Image size 240x240
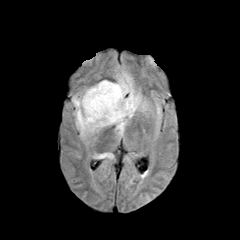
FLAIR MR.
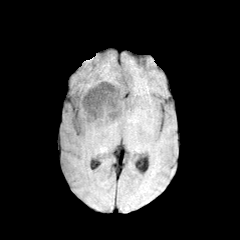
T1-weighted MR image.
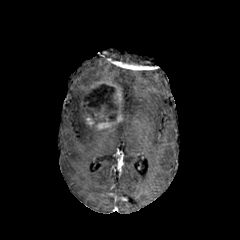
Post-contrast T1-weighted MRI.
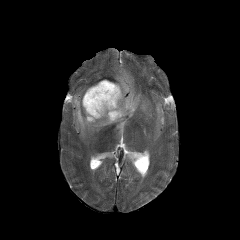
T2-weighted MR.
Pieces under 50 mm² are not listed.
<segmentation>
  <necrotic_tumor_core><box>83,84,118,121</box></necrotic_tumor_core>
  <enhancing_tumor><box>80,80,122,129</box></enhancing_tumor>
  <peritumoral_edema><box>72,87,99,138</box>, <box>112,69,151,136</box></peritumoral_edema>
</segmentation>